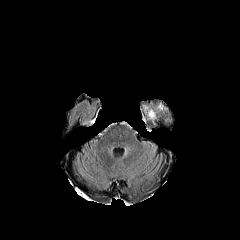
FLAIR magnetic resonance.
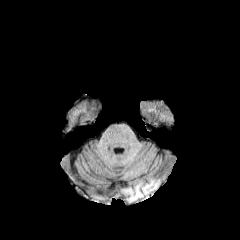
T1-weighted MR of the same slice.
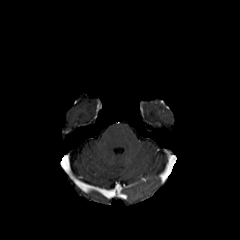
Same slice, post-contrast T1-weighted MR.
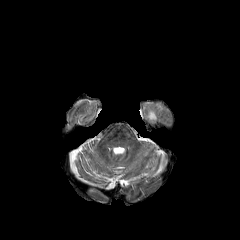
T2-weighted magnetic resonance.
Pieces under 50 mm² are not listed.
peritumoral_edema:
  - box=[148, 109, 156, 120]